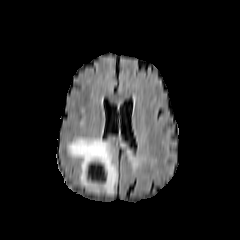
FLAIR magnetic resonance.
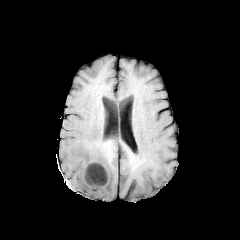
T1-weighted magnetic resonance.
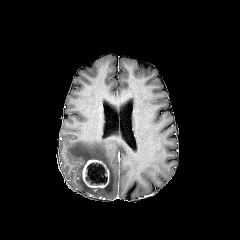
Post-contrast T1-weighted magnetic resonance of the same slice.
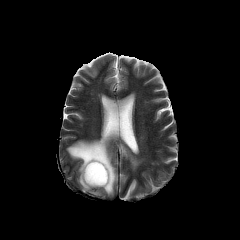
T2-weighted magnetic resonance.
Brain
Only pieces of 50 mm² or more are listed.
The largest peritumoral edema region is at x1=67 y1=137 x2=118 y2=195. The enhancing tumor is at x1=82 y1=159 x2=109 y2=188. The necrotic tumor core lies within x1=86 y1=163 x2=106 y2=184.